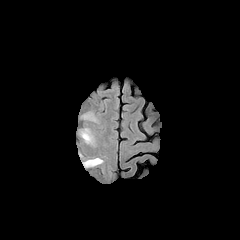
FLAIR magnetic resonance.
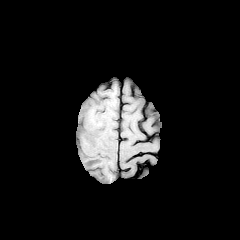
T1-weighted magnetic resonance.
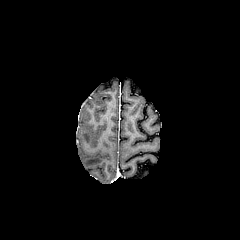
Post-contrast T1-weighted magnetic resonance.
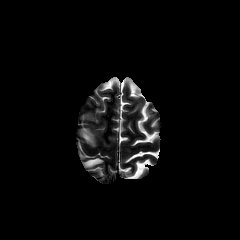
T2-weighted MRI.
Axial slice
peritumoral edema at l=83, t=158, r=102, b=166; l=81, t=129, r=93, b=143